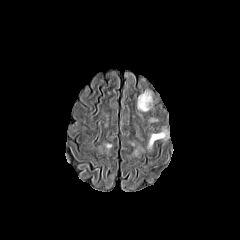
FLAIR magnetic resonance.
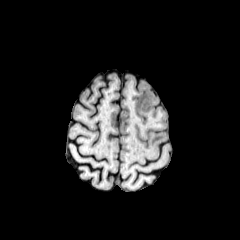
Same slice, T1-weighted magnetic resonance.
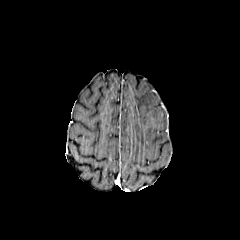
Post-contrast T1-weighted MR image of the same slice.
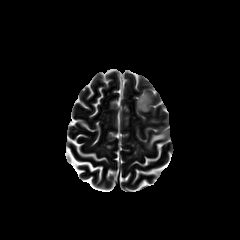
T2-weighted MRI of the same slice.
Head
peritumoral edema: box(149, 132, 165, 147); box(137, 91, 152, 111)